Brain
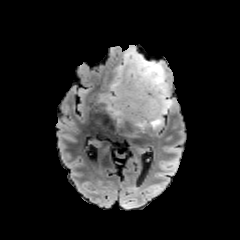
FLAIR MR.
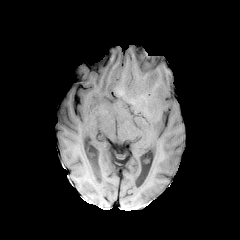
T1-weighted MRI.
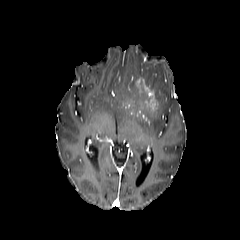
Same slice, post-contrast T1-weighted MR image.
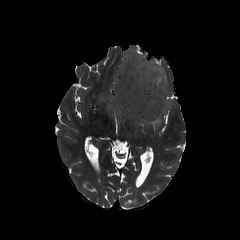
Same slice, T2-weighted MRI.
The peritumoral edema is bounded by box(99, 45, 171, 132). The enhancing tumor is located at box(134, 77, 160, 111).